FLAIR MR.
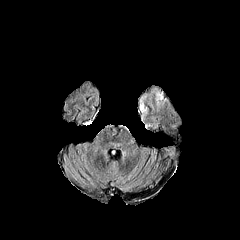
T1-weighted MRI.
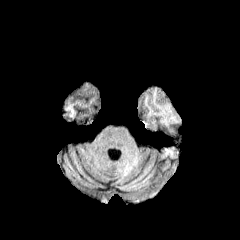
Post-contrast T1-weighted MRI.
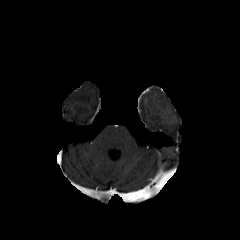
T2-weighted MR image.
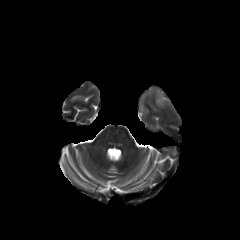
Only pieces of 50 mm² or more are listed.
peritumoral edema = 156, 92, 163, 100